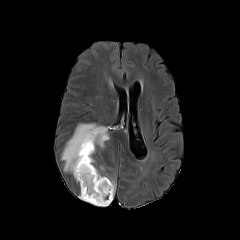
FLAIR MRI.
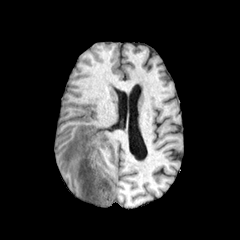
T1-weighted MR of the same slice.
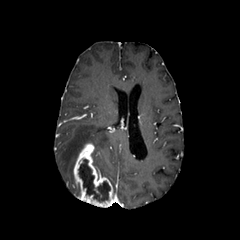
Post-contrast T1-weighted MR image of the same slice.
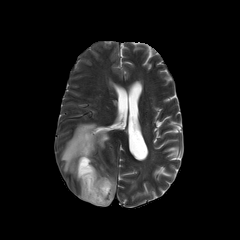
T2-weighted magnetic resonance.
240x240 px. Brain.
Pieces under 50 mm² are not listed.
{"peritumoral_edema": ["[102, 176, 115, 198]", "[61, 123, 109, 175]"], "enhancing_tumor": ["[73, 142, 113, 207]"], "necrotic_tumor_core": ["[78, 159, 110, 202]"]}